Image covers 240 mm x 240 mm, Axial plane
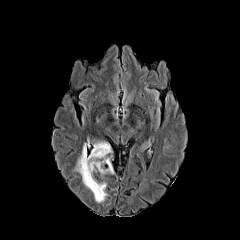
FLAIR MR image.
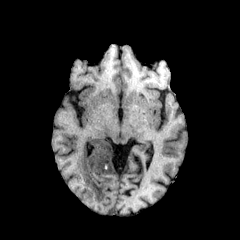
T1-weighted MR image of the same slice.
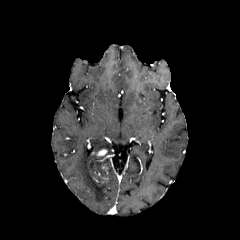
Post-contrast T1-weighted MR image of the same slice.
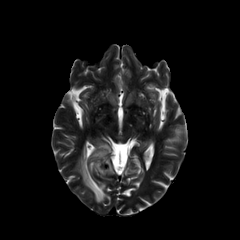
T2-weighted MRI.
peritumoral edema: 75 141 115 202 | enhancing tumor: 96 149 107 156